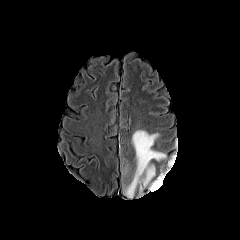
FLAIR magnetic resonance.
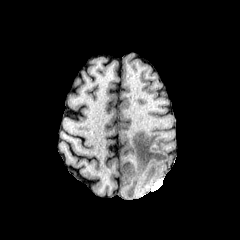
Same slice, T1-weighted MRI.
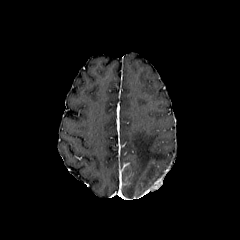
Post-contrast T1-weighted MR image.
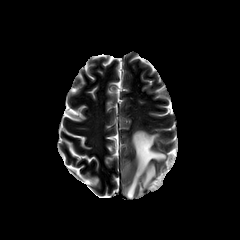
T2-weighted MR.
240x240 px; Head; Axial slice
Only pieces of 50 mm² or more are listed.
Annotated regions:
• peritumoral edema: x1=125, y1=130, x2=166, y2=197